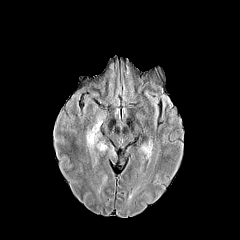
FLAIR magnetic resonance.
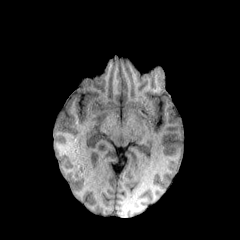
Same slice, T1-weighted MRI.
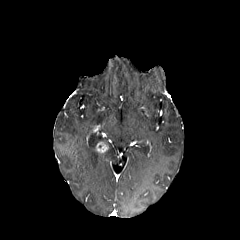
Post-contrast T1-weighted magnetic resonance.
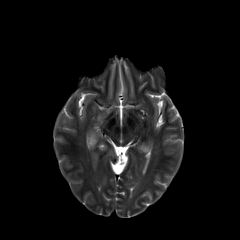
T2-weighted MR image.
Brain. Axial view.
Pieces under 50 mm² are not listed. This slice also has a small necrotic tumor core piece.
peritumoral edema = left=86, top=116, right=104, bottom=150
enhancing tumor = left=96, top=142, right=108, bottom=153